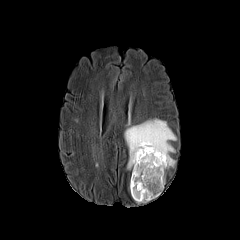
FLAIR MR image.
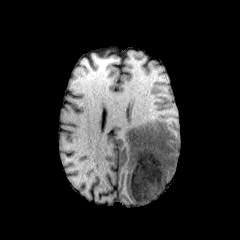
Same slice, T1-weighted MR image.
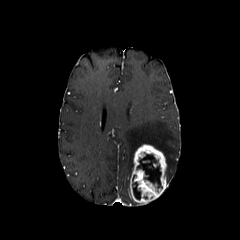
Same slice, post-contrast T1-weighted MR image.
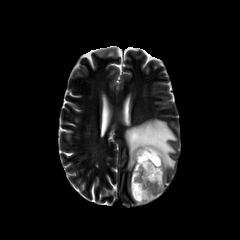
T2-weighted magnetic resonance of the same slice.
Image size 240x240; Head
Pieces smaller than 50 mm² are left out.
peritumoral edema = [124, 118, 176, 170]
necrotic tumor core = [132, 182, 140, 199], [137, 154, 162, 188]
enhancing tumor = [129, 144, 167, 204]